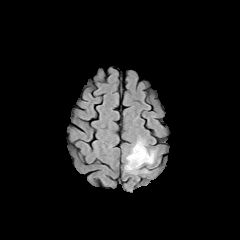
FLAIR MR image.
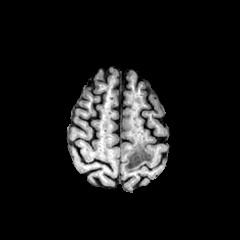
T1-weighted MR image of the same slice.
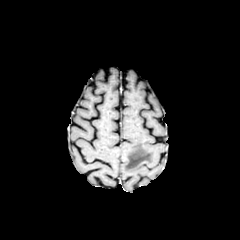
Post-contrast T1-weighted magnetic resonance of the same slice.
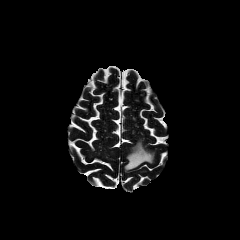
Same slice, T2-weighted MRI.
Brain
Annotated regions:
* peritumoral edema: [x1=125, y1=138, x2=155, y2=171]